Brain, Axial plane
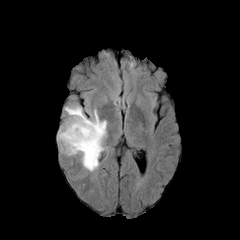
FLAIR MR image.
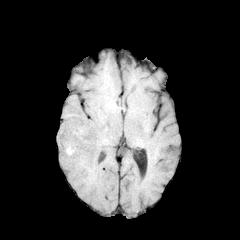
T1-weighted MRI.
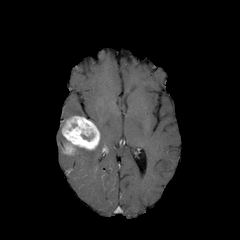
Post-contrast T1-weighted MRI.
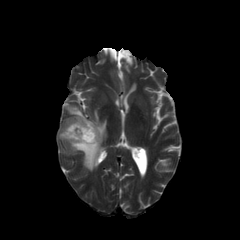
T2-weighted MR.
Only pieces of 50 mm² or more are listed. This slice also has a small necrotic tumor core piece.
enhancing tumor: bounding box <bbox>61, 116, 100, 154</bbox>
peritumoral edema: bounding box <bbox>57, 127, 65, 152</bbox>, <bbox>65, 105, 86, 118</bbox>, <bbox>75, 109, 107, 171</bbox>